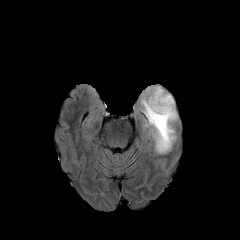
FLAIR MR image.
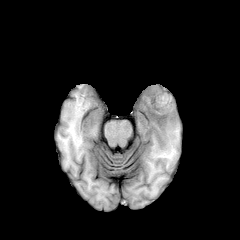
T1-weighted magnetic resonance of the same slice.
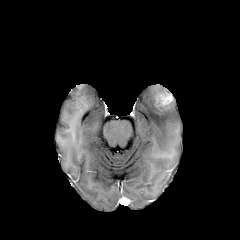
Post-contrast T1-weighted MRI.
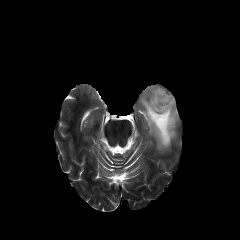
T2-weighted MR image.
Head | Axial plane
<segmentation>
  <enhancing_tumor>(left=155, top=92, right=173, bottom=106)</enhancing_tumor>
  <peritumoral_edema>(left=140, top=85, right=177, bottom=153)</peritumoral_edema>
</segmentation>